FLAIR MRI.
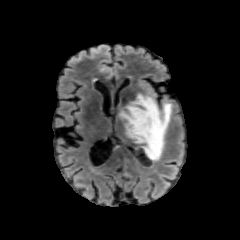
T1-weighted MRI.
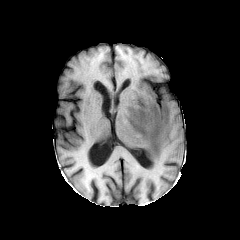
Post-contrast T1-weighted magnetic resonance.
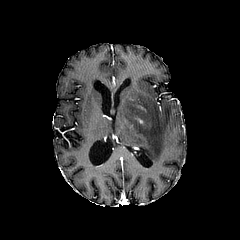
T2-weighted MR image.
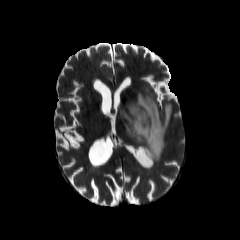
Head | 240x240
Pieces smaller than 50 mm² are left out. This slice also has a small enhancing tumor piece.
peritumoral edema: (115, 93, 171, 168)